Slice 48 of 155, Brain, Image width 240 mm
FLAIR MRI.
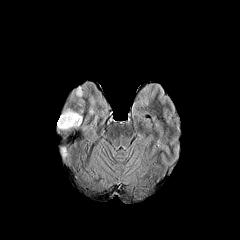
T1-weighted MRI.
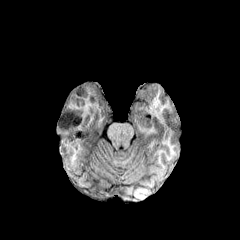
Post-contrast T1-weighted magnetic resonance.
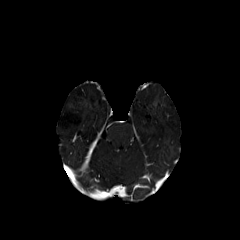
T2-weighted MRI.
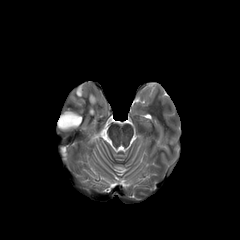
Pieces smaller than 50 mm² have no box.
Findings:
• peritumoral edema: 75 87 82 101, 57 109 82 130